FLAIR magnetic resonance.
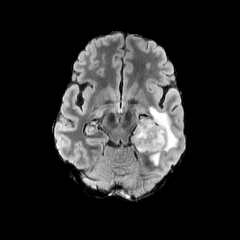
T1-weighted MR.
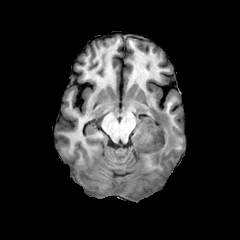
Post-contrast T1-weighted MRI.
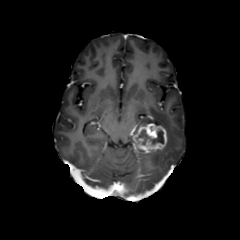
T2-weighted MRI.
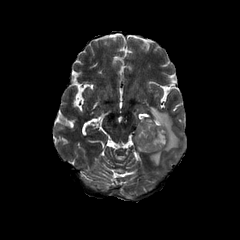
Axial slice
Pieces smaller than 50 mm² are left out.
The enhancing tumor is bounded by bbox=[133, 123, 167, 152]. The largest peritumoral edema region is located at bbox=[131, 107, 178, 165]. The necrotic tumor core is bounded by bbox=[138, 130, 163, 144].